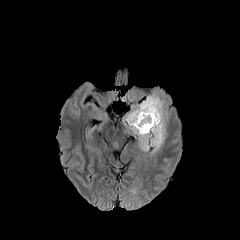
FLAIR magnetic resonance.
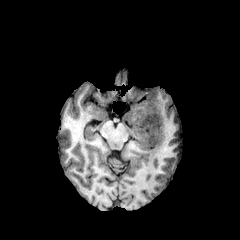
T1-weighted MR image.
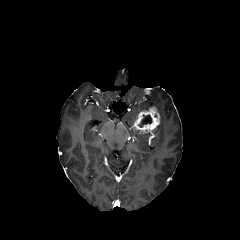
Same slice, post-contrast T1-weighted MR image.
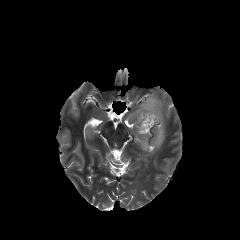
T2-weighted MR image.
240x240, Head
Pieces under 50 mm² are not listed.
enhancing tumor: bbox(133, 106, 160, 133) | necrotic tumor core: bbox(138, 115, 152, 127) | peritumoral edema: bbox(125, 94, 165, 153)